FLAIR magnetic resonance.
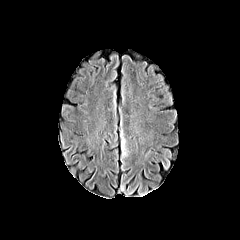
T1-weighted MR image.
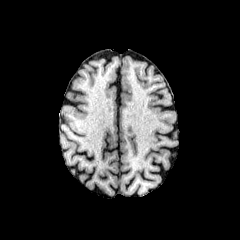
Post-contrast T1-weighted MRI.
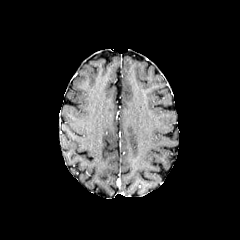
T2-weighted MR.
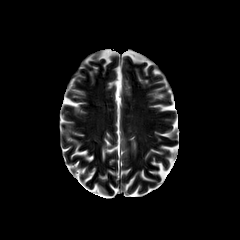
peritumoral edema: (x1=120, y1=130, x2=128, y2=159)